FLAIR MR image.
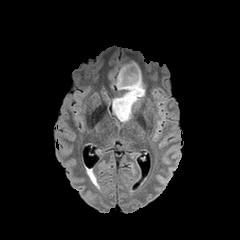
T1-weighted MRI.
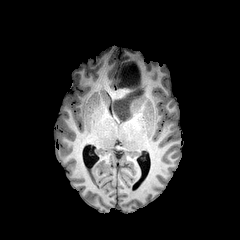
Post-contrast T1-weighted MRI.
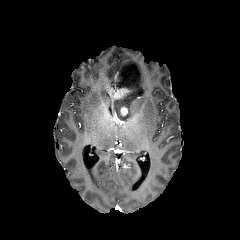
T2-weighted MRI.
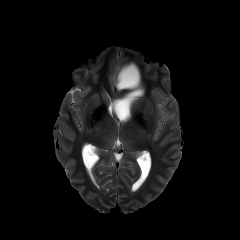
Axial plane | Brain
The enhancing tumor is at (120,106,127,115). The peritumoral edema is at (112,62,145,122).